Brain. Slice index 110. Axial view.
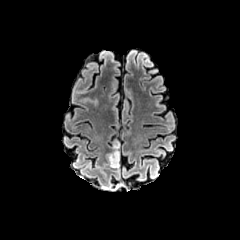
FLAIR MR.
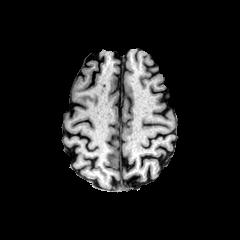
T1-weighted MR of the same slice.
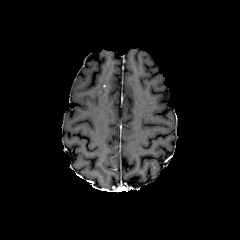
Same slice, post-contrast T1-weighted MR.
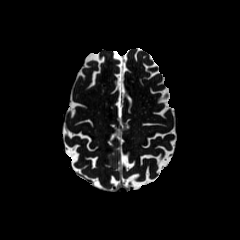
T2-weighted magnetic resonance of the same slice.
Segmented structures:
• peritumoral edema: x1=107, y1=139, x2=119, y2=168